Axial view; Slice 68 of 155; Brain
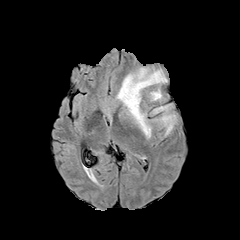
FLAIR MR.
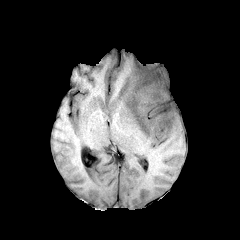
Same slice, T1-weighted MR.
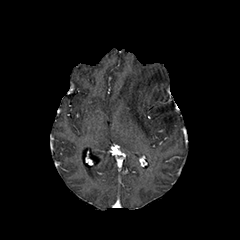
Post-contrast T1-weighted MR image.
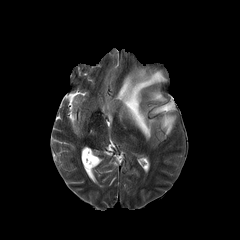
T2-weighted MRI of the same slice.
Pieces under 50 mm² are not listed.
peritumoral edema — [116,68,167,138], [152,104,176,135], [149,88,163,100]